FLAIR magnetic resonance.
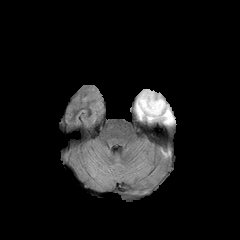
T1-weighted MR image.
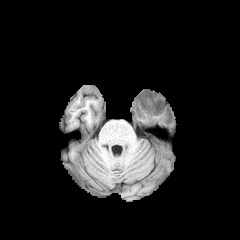
Post-contrast T1-weighted magnetic resonance.
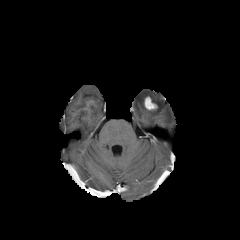
T2-weighted MRI.
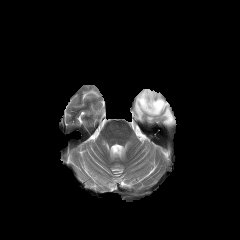
Axial plane.
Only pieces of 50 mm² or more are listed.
Segmented structures:
• peritumoral edema: [135, 90, 174, 125]
• enhancing tumor: [144, 97, 153, 109]